Axial view. Slice 95/155. Brain.
FLAIR MR image.
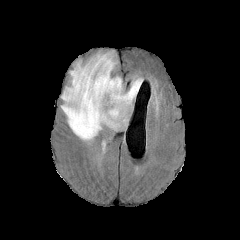
T1-weighted magnetic resonance.
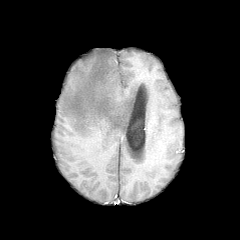
Post-contrast T1-weighted MR image.
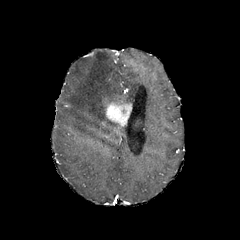
T2-weighted magnetic resonance.
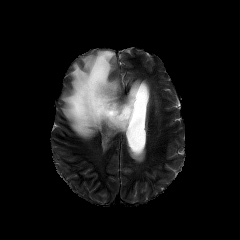
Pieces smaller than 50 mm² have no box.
{
  "peritumoral_edema": [
    "box=[61, 51, 142, 140]"
  ],
  "enhancing_tumor": [
    "box=[102, 98, 132, 127]"
  ]
}